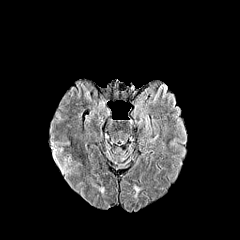
FLAIR magnetic resonance.
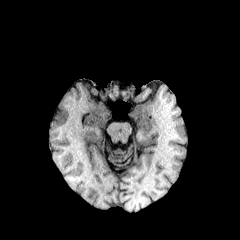
Same slice, T1-weighted MR.
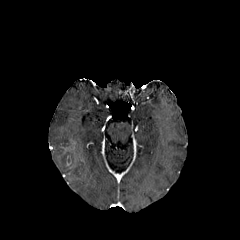
Post-contrast T1-weighted MR image of the same slice.
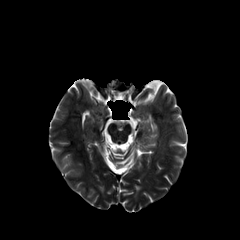
Same slice, T2-weighted MRI.
Brain
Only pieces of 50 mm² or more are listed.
• peritumoral edema: <box>54,149,69,172</box>